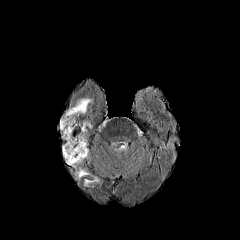
FLAIR MR.
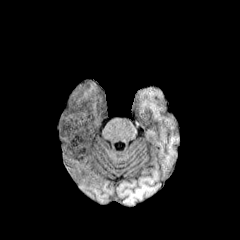
T1-weighted MRI.
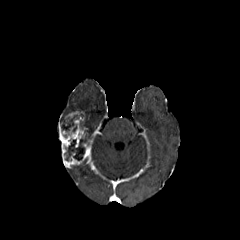
Post-contrast T1-weighted MRI of the same slice.
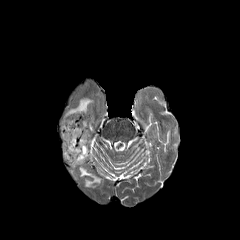
T2-weighted magnetic resonance.
Axial view.
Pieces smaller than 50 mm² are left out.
<segmentation>
  <necrotic_tumor_core>[65,136,86,160], [60,115,78,130]</necrotic_tumor_core>
  <peritumoral_edema>[85,176,99,186], [66,98,92,114], [79,168,91,177]</peritumoral_edema>
  <enhancing_tumor>[64,111,84,121], [65,140,88,165], [59,117,86,158]</enhancing_tumor>
</segmentation>